FLAIR MR image.
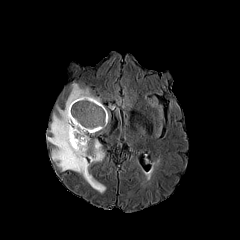
T1-weighted MR image.
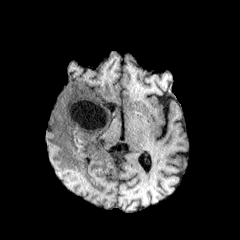
Post-contrast T1-weighted MR image.
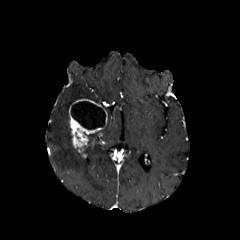
T2-weighted MR.
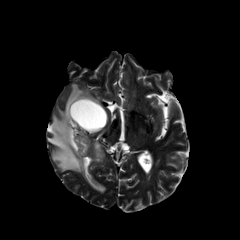
Brain | Image size 240x240
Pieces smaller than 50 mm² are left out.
enhancing tumor: 68, 99, 107, 157 | necrotic tumor core: 71, 101, 105, 129 | peritumoral edema: 47, 83, 105, 192